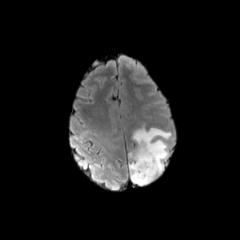
FLAIR MRI.
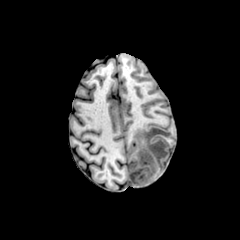
T1-weighted MR image.
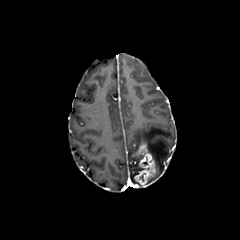
Post-contrast T1-weighted MR.
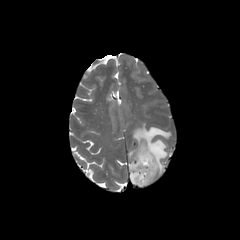
T2-weighted MR image.
Brain | Axial view
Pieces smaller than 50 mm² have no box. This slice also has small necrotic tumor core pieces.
Segmented structures:
- enhancing tumor: (133,143,155,185)
- peritumoral edema: (129,126,171,183)